FLAIR MR.
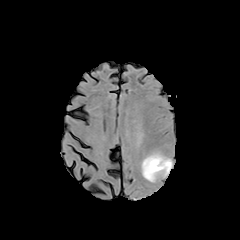
T1-weighted MRI.
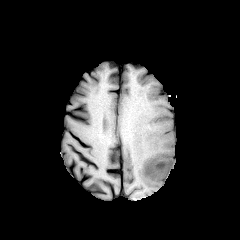
Post-contrast T1-weighted MR.
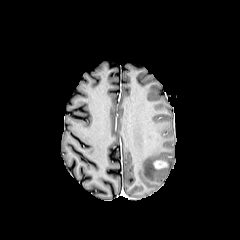
T2-weighted MR image.
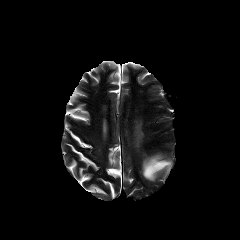
Brain
enhancing tumor = 153,160,168,169
peritumoral edema = 142,154,172,181